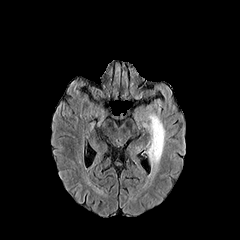
FLAIR MRI.
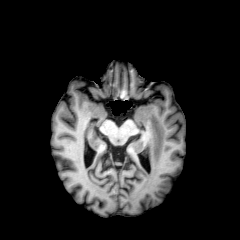
Same slice, T1-weighted MR.
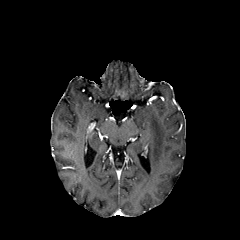
Post-contrast T1-weighted MRI.
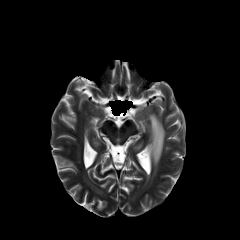
T2-weighted MR image.
240x240. Brain.
* peritumoral edema: rect(142, 113, 165, 184)